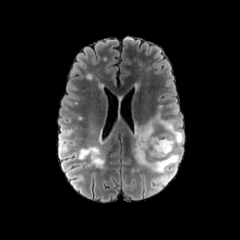
FLAIR magnetic resonance.
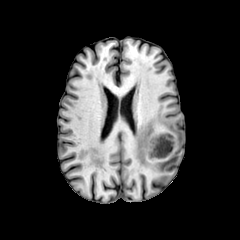
Same slice, T1-weighted magnetic resonance.
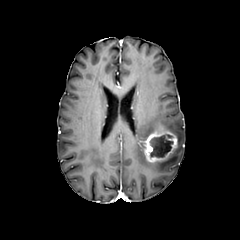
Same slice, post-contrast T1-weighted magnetic resonance.
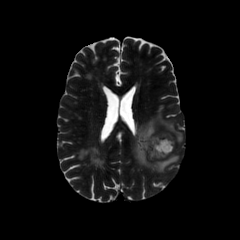
T2-weighted magnetic resonance.
Head
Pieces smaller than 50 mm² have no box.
<segmentation>
  <enhancing_tumor>[144, 131, 177, 161]</enhancing_tumor>
  <necrotic_tumor_core>[150, 134, 172, 157]</necrotic_tumor_core>
  <peritumoral_edema>[133, 113, 183, 172]</peritumoral_edema>
</segmentation>